FLAIR MR image.
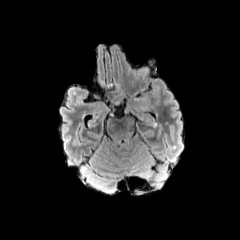
T1-weighted MR.
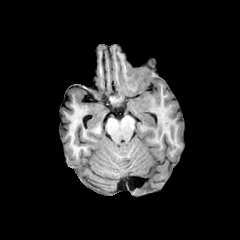
Post-contrast T1-weighted magnetic resonance.
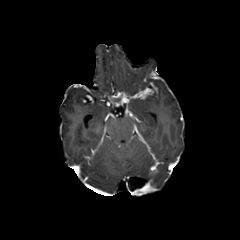
T2-weighted MRI.
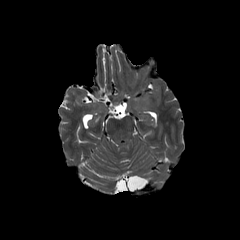
240x240 px.
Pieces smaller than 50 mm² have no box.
The largest peritumoral edema region appears at 133:92:150:106. 2 enhancing tumor regions are bounded by 135:82:157:99, 113:92:133:103.